Image width 240 mm, Image size 240x240, Axial plane
FLAIR magnetic resonance.
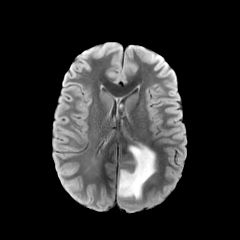
T1-weighted MR image.
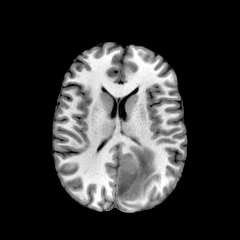
Post-contrast T1-weighted MRI.
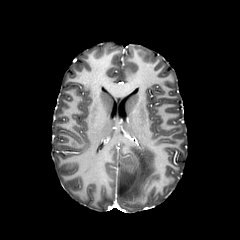
T2-weighted MRI.
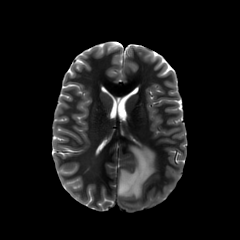
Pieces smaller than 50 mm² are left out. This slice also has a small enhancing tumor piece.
necrotic tumor core: {"x1": 122, "y1": 151, "x2": 139, "y2": 170} | peritumoral edema: {"x1": 118, "y1": 145, "x2": 155, "y2": 199}